Slice 37/155 | Brain | Axial view
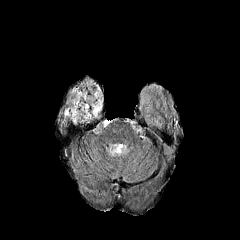
FLAIR MR image.
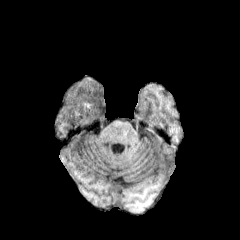
T1-weighted MR image.
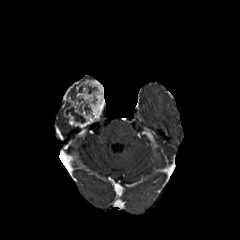
Post-contrast T1-weighted MR of the same slice.
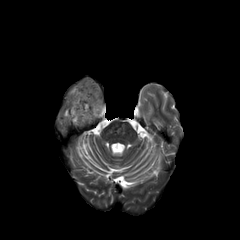
T2-weighted MRI of the same slice.
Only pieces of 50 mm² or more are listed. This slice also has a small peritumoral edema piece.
necrotic tumor core: bounding box x1=66, y1=107, x2=85, y2=123
enhancing tumor: bounding box x1=64, y1=79, x2=104, y2=126